Image size 240x240, Brain, Slice 79 of 155
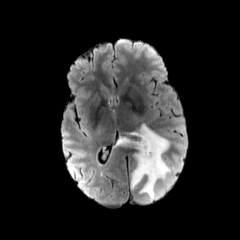
FLAIR MR.
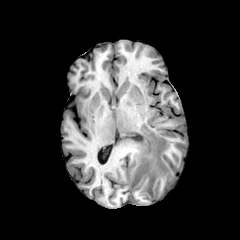
Same slice, T1-weighted MR.
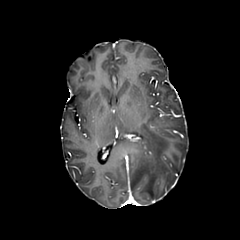
Post-contrast T1-weighted magnetic resonance of the same slice.
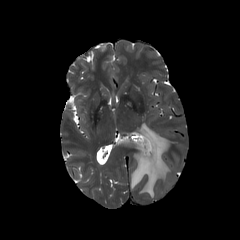
Same slice, T2-weighted magnetic resonance.
peritumoral edema: 116,124,170,199